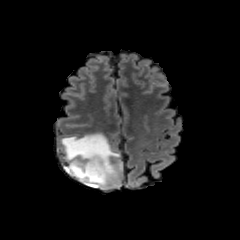
FLAIR MRI.
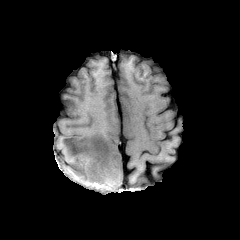
T1-weighted MR of the same slice.
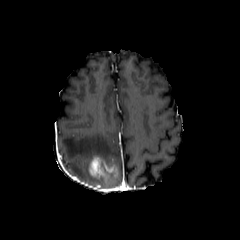
Post-contrast T1-weighted magnetic resonance of the same slice.
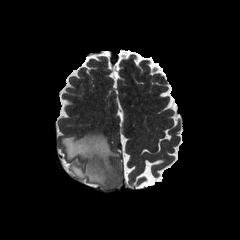
T2-weighted MRI of the same slice.
Axial slice, Head
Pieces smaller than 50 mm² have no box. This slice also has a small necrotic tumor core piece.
peritumoral edema: bounding box l=61, t=133, r=122, b=188
enhancing tumor: bounding box l=88, t=156, r=117, b=177